Axial plane; Slice 95 of 155; Brain
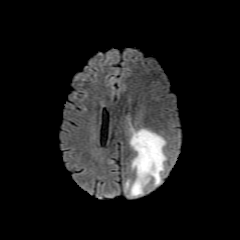
FLAIR magnetic resonance.
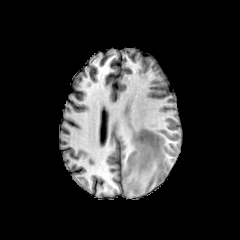
T1-weighted magnetic resonance.
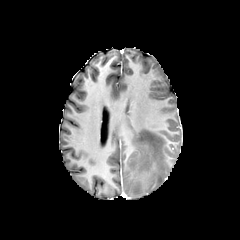
Post-contrast T1-weighted MRI.
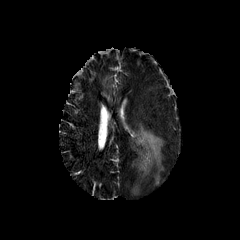
T2-weighted MR.
{"peritumoral_edema": ["region(125, 128, 166, 195)"]}